FLAIR MR image.
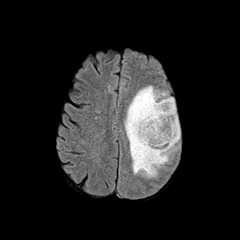
T1-weighted MR image.
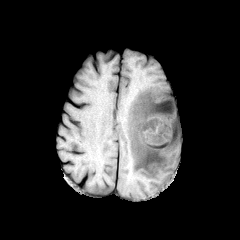
Post-contrast T1-weighted MRI.
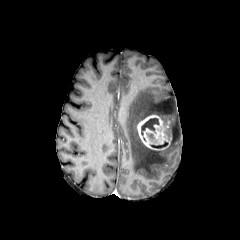
T2-weighted MR.
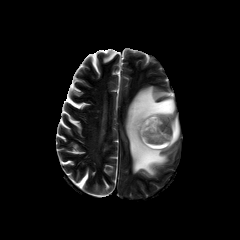
Axial plane | 240x240
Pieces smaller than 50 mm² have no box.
The 2 largest necrotic tumor core regions are located at left=141, top=118, right=158, bottom=135; left=150, top=141, right=168, bottom=148. The enhancing tumor is located at left=137, top=115, right=171, bottom=150. The largest peritumoral edema region is located at left=125, top=86, right=180, bottom=177.